Axial slice. Slice 80 of 155. Image width 240 mm, 1.00 mm slice spacing.
FLAIR MRI.
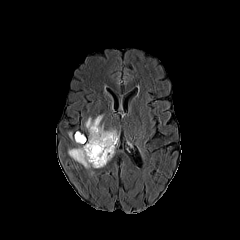
T1-weighted MRI.
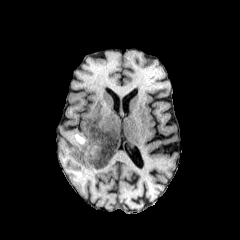
Post-contrast T1-weighted MR.
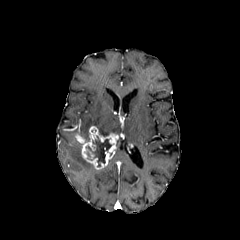
T2-weighted MRI.
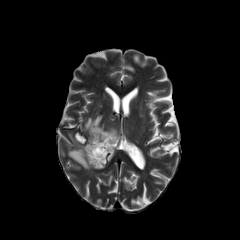
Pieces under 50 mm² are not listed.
Annotated regions:
* enhancing tumor: (left=81, top=126, right=118, bottom=169)
* peritumoral edema: (left=68, top=145, right=93, bottom=169), (left=84, top=115, right=117, bottom=134), (left=74, top=131, right=86, bottom=144)
* necrotic tumor core: (left=86, top=136, right=111, bottom=166)